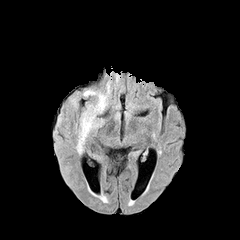
FLAIR magnetic resonance.
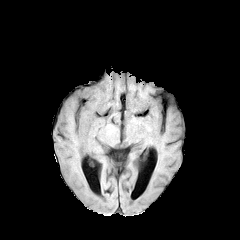
Same slice, T1-weighted magnetic resonance.
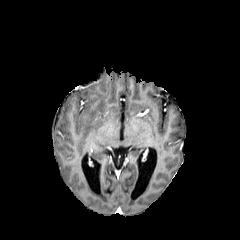
Post-contrast T1-weighted MR.
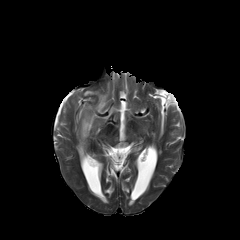
T2-weighted MR image of the same slice.
Axial plane
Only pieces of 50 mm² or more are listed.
The 4 largest peritumoral edema regions appear at (69,98,81,103), (56,103,63,141), (83,88,96,95), (78,84,111,152).